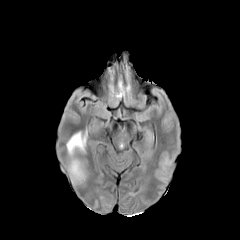
FLAIR MRI.
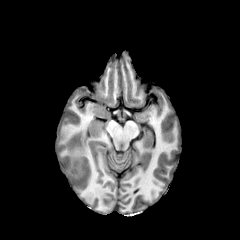
T1-weighted MRI.
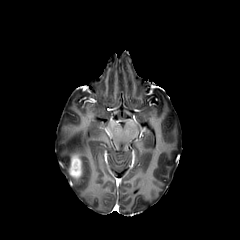
Post-contrast T1-weighted MR image of the same slice.
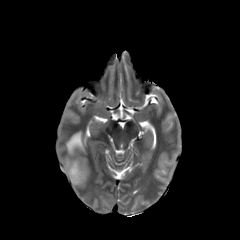
T2-weighted MRI.
Head
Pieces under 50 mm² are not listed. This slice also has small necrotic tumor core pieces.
peritumoral edema — (66, 131, 87, 159), (70, 170, 86, 185)
enhancing tumor — (68, 154, 83, 179)